Axial slice; Image size 240x240; Image covers 240 mm x 240 mm
FLAIR MRI.
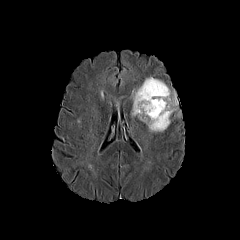
T1-weighted MR image.
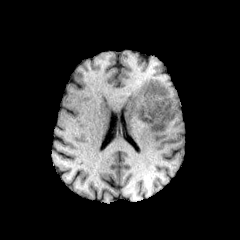
Post-contrast T1-weighted MR.
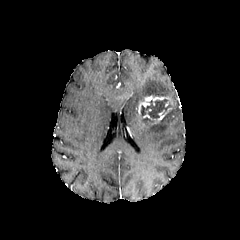
T2-weighted magnetic resonance.
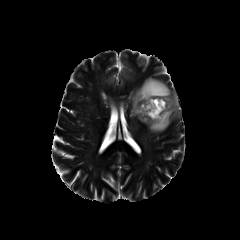
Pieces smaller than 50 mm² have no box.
The peritumoral edema is located at <bbox>131, 77, 180, 132</bbox>. The largest necrotic tumor core region appears at <bbox>141, 99, 171, 118</bbox>. The largest enhancing tumor region is located at <bbox>136, 95, 175, 124</bbox>.